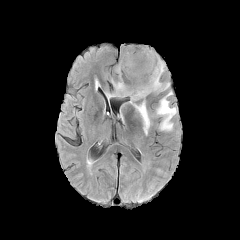
FLAIR MR.
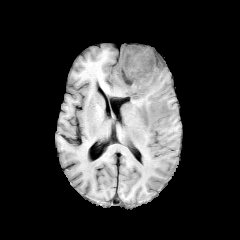
Same slice, T1-weighted MR image.
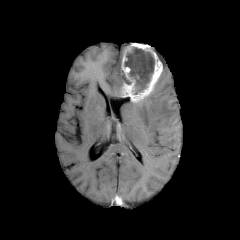
Post-contrast T1-weighted MR image of the same slice.
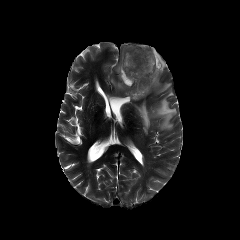
T2-weighted MRI of the same slice.
Axial plane.
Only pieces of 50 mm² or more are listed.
enhancing tumor: 121 43 163 102 | necrotic tumor core: 125 47 154 94, 121 70 130 84 | peritumoral edema: 108 63 122 96, 130 78 176 134